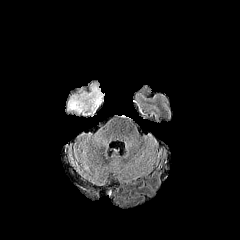
FLAIR MR image.
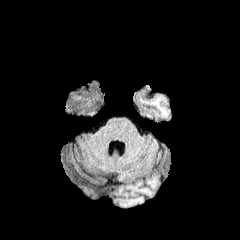
T1-weighted MR.
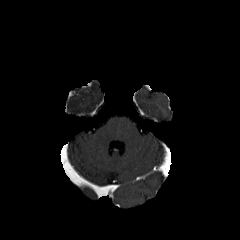
Same slice, post-contrast T1-weighted MR image.
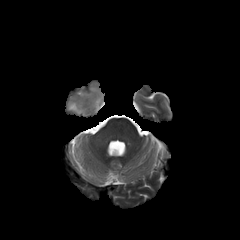
T2-weighted MR.
Head, 240x240 px
The peritumoral edema is bounded by 68:84:102:113.